Brain. Slice 57 of 155. Axial view.
FLAIR magnetic resonance.
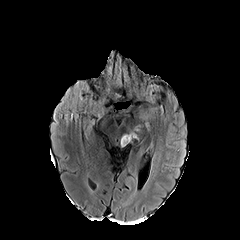
T1-weighted MRI.
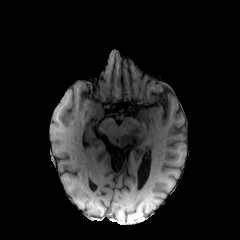
Post-contrast T1-weighted magnetic resonance.
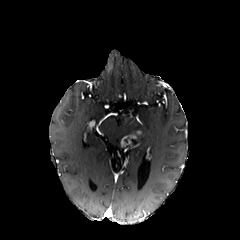
T2-weighted MRI.
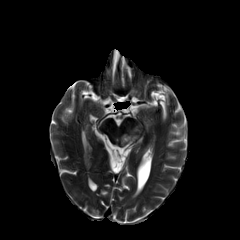
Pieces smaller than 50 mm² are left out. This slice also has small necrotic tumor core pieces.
peritumoral_edema:
  - l=119, t=132, r=136, b=148
enhancing_tumor:
  - l=120, t=135, r=136, b=146